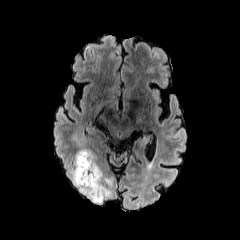
FLAIR magnetic resonance.
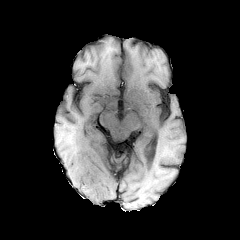
T1-weighted MR of the same slice.
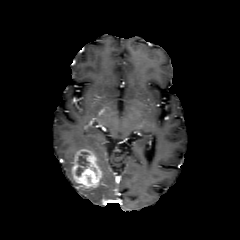
Same slice, post-contrast T1-weighted MR.
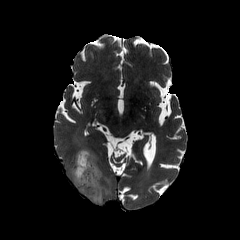
T2-weighted magnetic resonance.
Head | Axial slice
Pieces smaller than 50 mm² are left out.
enhancing tumor at {"x1": 72, "y1": 149, "x2": 102, "y2": 188}
necrotic tumor core at {"x1": 77, "y1": 156, "x2": 88, "y2": 166}
peritumoral edema at {"x1": 69, "y1": 167, "x2": 78, "y2": 186}, {"x1": 78, "y1": 179, "x2": 109, "y2": 204}